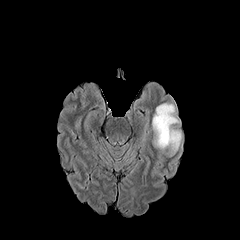
FLAIR MRI.
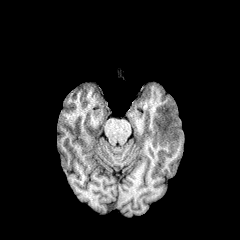
Same slice, T1-weighted magnetic resonance.
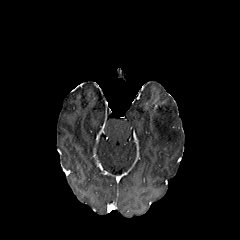
Post-contrast T1-weighted MRI.
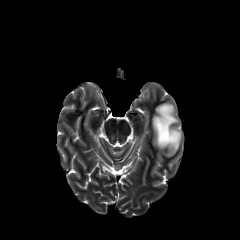
T2-weighted MRI.
240x240 px; Axial view
The peritumoral edema is at <box>152,103,182,154</box>.